Head; 240x240; Axial slice
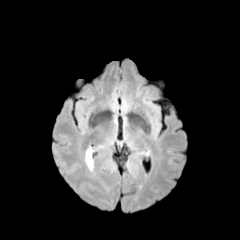
FLAIR MRI.
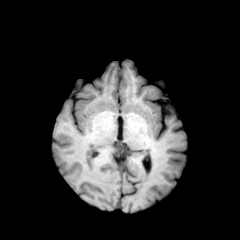
T1-weighted MR image of the same slice.
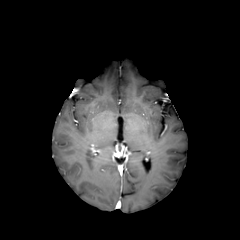
Post-contrast T1-weighted MRI.
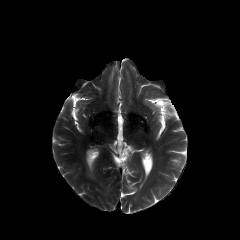
T2-weighted magnetic resonance.
peritumoral edema — (85,149,93,170)